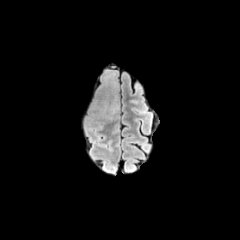
FLAIR MRI.
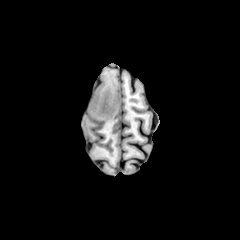
Same slice, T1-weighted magnetic resonance.
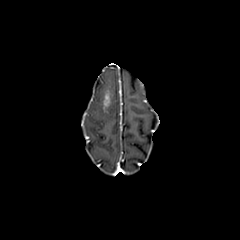
Post-contrast T1-weighted MR image of the same slice.
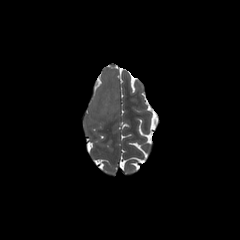
T2-weighted MR image.
Head. 240x240.
enhancing tumor: 102:89:111:112